FLAIR MRI.
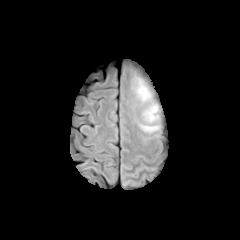
T1-weighted MR image.
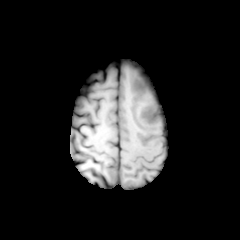
Post-contrast T1-weighted MRI.
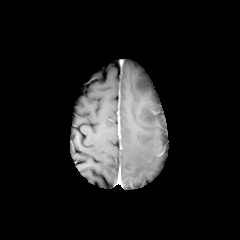
T2-weighted magnetic resonance.
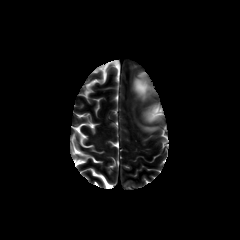
Axial view | Brain
peritumoral edema: bounding box (left=142, top=126, right=158, bottom=132), (left=134, top=77, right=150, bottom=100), (left=144, top=105, right=159, bottom=122)